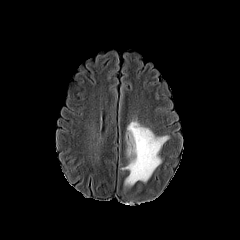
FLAIR MR image.
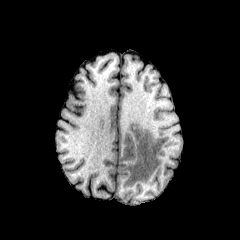
T1-weighted MR image of the same slice.
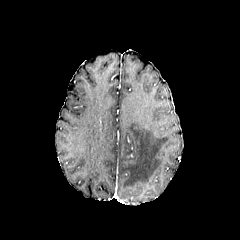
Post-contrast T1-weighted MR.
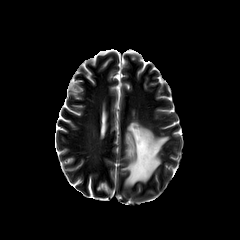
T2-weighted magnetic resonance.
<segmentation>
  <peritumoral_edema>box=[122, 121, 168, 186]</peritumoral_edema>
</segmentation>